Image width 240 mm
FLAIR MR.
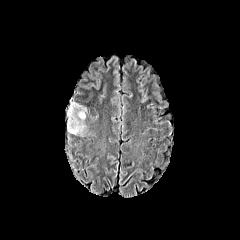
T1-weighted MR image.
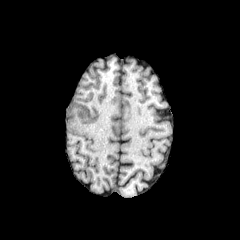
Post-contrast T1-weighted MR image.
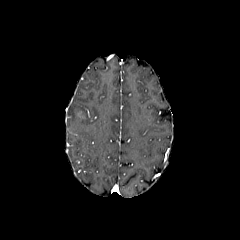
T2-weighted MRI.
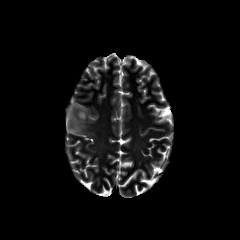
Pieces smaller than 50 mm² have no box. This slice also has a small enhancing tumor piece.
The peritumoral edema lies within (67, 102, 85, 135).